240x240; Brain; Image covers 240 mm x 240 mm
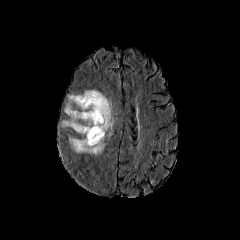
FLAIR MRI.
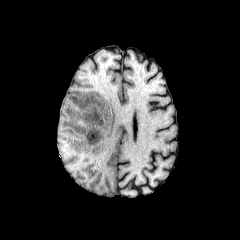
T1-weighted MR image of the same slice.
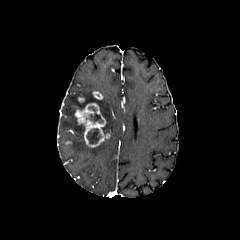
Post-contrast T1-weighted MR image.
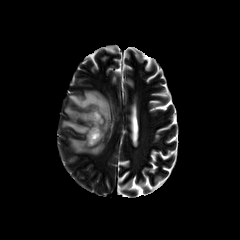
T2-weighted MRI of the same slice.
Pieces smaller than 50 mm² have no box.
enhancing tumor: 75,103,110,147; 92,91,103,99 | necrotic tumor core: 87,129,99,143 | peritumoral edema: 62,90,113,134; 69,137,104,155